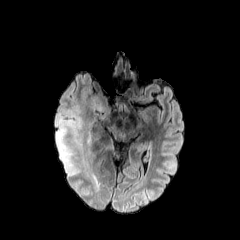
FLAIR MR.
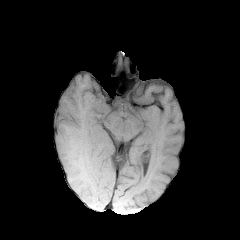
T1-weighted MR image.
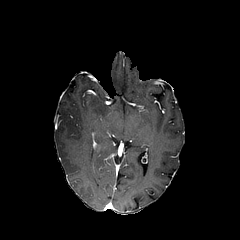
Post-contrast T1-weighted MR image of the same slice.
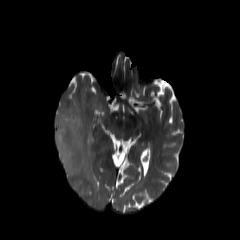
T2-weighted MR image.
Brain, Image size 240x240, Axial view
peritumoral_edema:
  - 86,97,106,113
  - 56,108,99,189